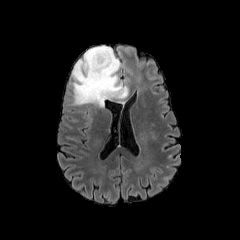
FLAIR MRI.
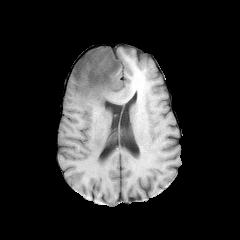
Same slice, T1-weighted magnetic resonance.
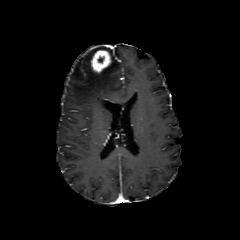
Post-contrast T1-weighted MR image.
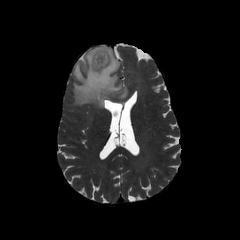
T2-weighted MR of the same slice.
240x240 px; Axial view; Brain
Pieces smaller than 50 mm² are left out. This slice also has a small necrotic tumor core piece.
The enhancing tumor is at bbox(91, 50, 111, 73). The peritumoral edema appears at bbox(71, 46, 127, 108).